Slice 43/155
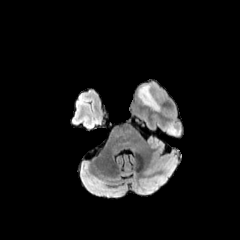
FLAIR MR.
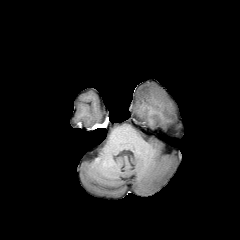
T1-weighted MR image.
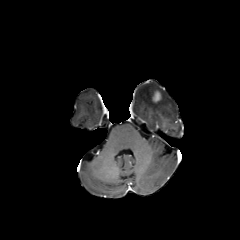
Post-contrast T1-weighted MR.
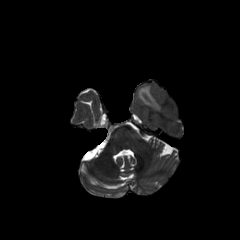
Same slice, T2-weighted MRI.
peritumoral edema: 138, 83, 164, 111 | enhancing tumor: 153, 91, 161, 102